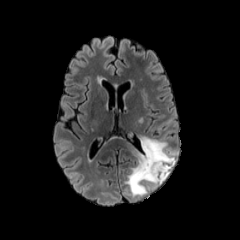
FLAIR MRI.
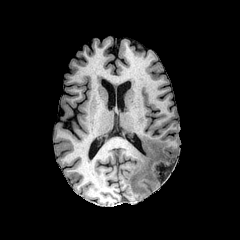
T1-weighted MR image of the same slice.
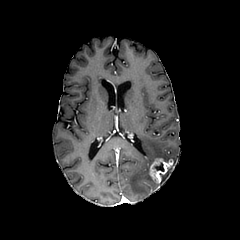
Post-contrast T1-weighted MRI of the same slice.
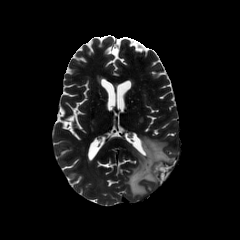
T2-weighted MR image of the same slice.
Axial view, Image size 240x240
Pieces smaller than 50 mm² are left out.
enhancing tumor: <bbox>149, 158, 174, 183</bbox> | necrotic tumor core: <bbox>154, 162, 164, 171</bbox> | peritumoral edema: <bbox>125, 136, 176, 196</bbox>